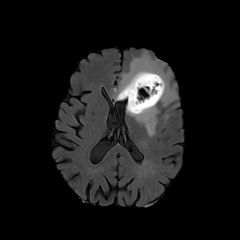
FLAIR MRI.
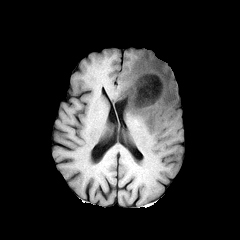
Same slice, T1-weighted MR image.
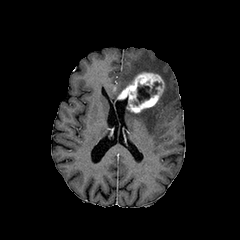
Same slice, post-contrast T1-weighted MRI.
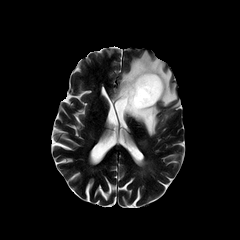
Same slice, T2-weighted MRI.
240x240 px.
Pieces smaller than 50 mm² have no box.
necrotic tumor core = <bbox>137, 82, 160, 103</bbox>
peritumoral edema = <bbox>126, 103, 159, 136</bbox>, <bbox>112, 51, 177, 106</bbox>
enhancing tumor = <bbox>117, 72, 164, 113</bbox>